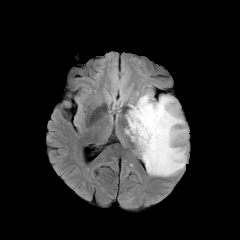
FLAIR MR.
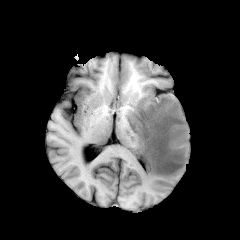
Same slice, T1-weighted MR image.
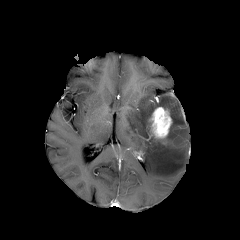
Post-contrast T1-weighted MR image of the same slice.
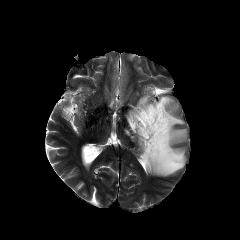
T2-weighted MR.
Brain
The enhancing tumor appears at bbox=[149, 107, 172, 139]. The peritumoral edema is bounded by bbox=[125, 92, 187, 176].